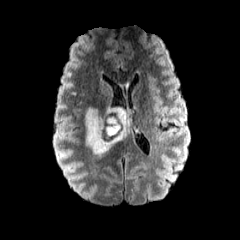
FLAIR magnetic resonance.
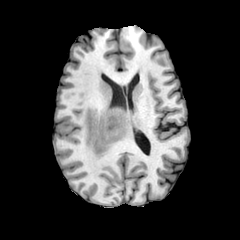
T1-weighted magnetic resonance of the same slice.
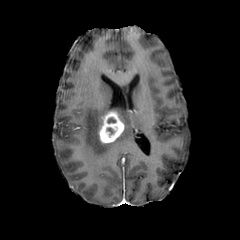
Same slice, post-contrast T1-weighted magnetic resonance.
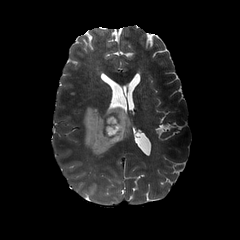
T2-weighted magnetic resonance.
Head, Image size 240x240
necrotic tumor core at 106:117:117:123, 104:127:117:135
enhancing tumor at 98:111:124:143
peritumoral edema at 85:103:132:158